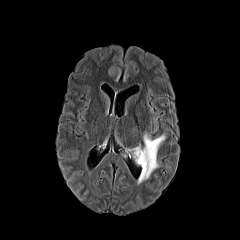
FLAIR MR image.
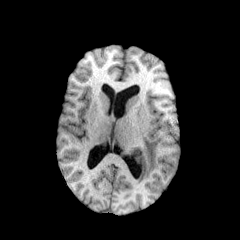
T1-weighted MR image.
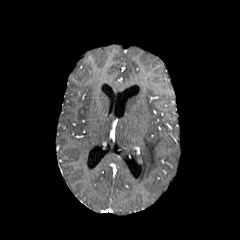
Post-contrast T1-weighted magnetic resonance.
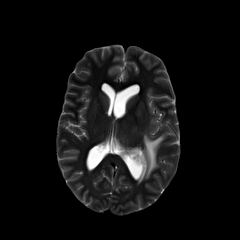
T2-weighted MRI.
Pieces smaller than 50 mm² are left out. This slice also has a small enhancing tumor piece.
peritumoral edema = box(126, 133, 165, 183)